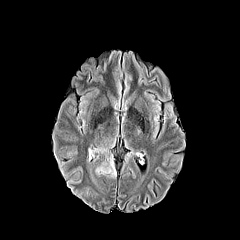
FLAIR MR image.
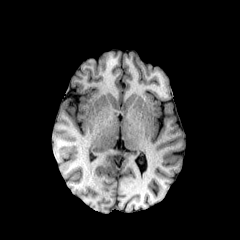
T1-weighted magnetic resonance.
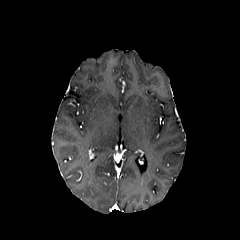
Post-contrast T1-weighted MR.
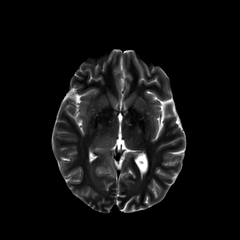
T2-weighted magnetic resonance.
Brain. Axial view. 240x240.
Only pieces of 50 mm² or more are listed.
Annotated regions:
- peritumoral edema: box(96, 160, 115, 176)